FLAIR MRI.
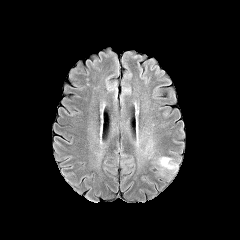
T1-weighted MRI.
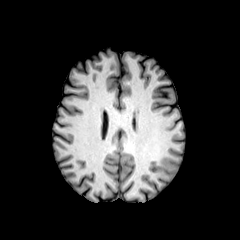
Post-contrast T1-weighted MR image.
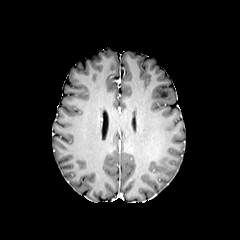
T2-weighted MRI.
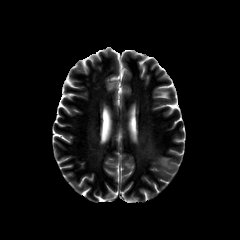
Image size 240x240; Head
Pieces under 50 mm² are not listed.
The largest peritumoral edema region lies within 156, 156, 178, 176.